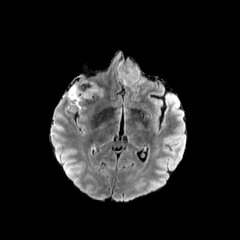
FLAIR MR image.
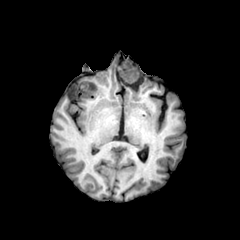
Same slice, T1-weighted magnetic resonance.
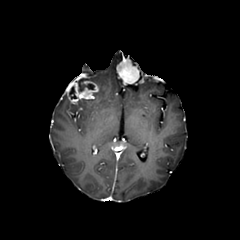
Post-contrast T1-weighted MRI of the same slice.
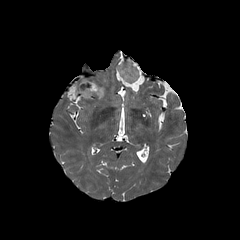
T2-weighted magnetic resonance.
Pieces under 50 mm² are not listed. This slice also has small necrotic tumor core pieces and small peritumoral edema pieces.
enhancing tumor at bbox(66, 80, 99, 104); bbox(116, 59, 142, 84)